Image width 240 mm, Slice 104/155, Brain, Axial plane
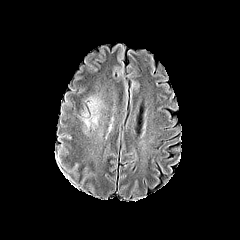
FLAIR magnetic resonance.
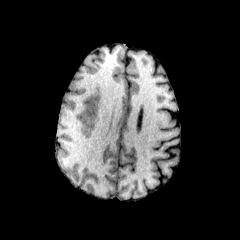
T1-weighted MRI of the same slice.
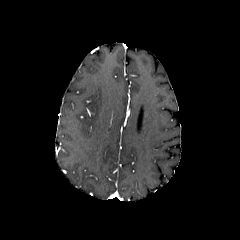
Post-contrast T1-weighted MR.
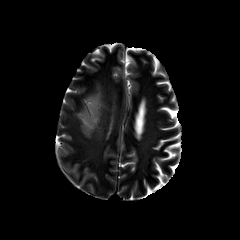
T2-weighted magnetic resonance.
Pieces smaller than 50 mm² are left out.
The largest peritumoral edema region appears at 88:98:98:112.